FLAIR MR image.
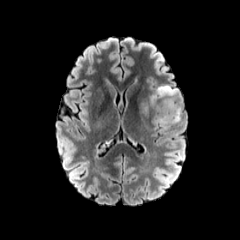
T1-weighted magnetic resonance.
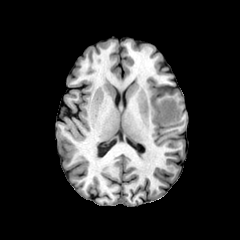
Post-contrast T1-weighted magnetic resonance.
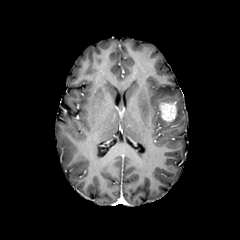
T2-weighted magnetic resonance.
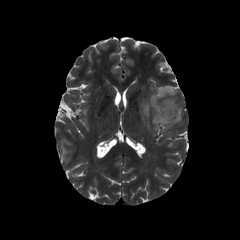
Brain
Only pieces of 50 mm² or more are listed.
peritumoral edema: bounding box 150:85:178:104, 154:103:181:128
enhancing tumor: bounding box 158:101:176:122